Axial plane, Head, Image width 240 mm, 1.00 mm slice spacing
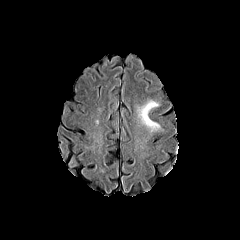
FLAIR MR image.
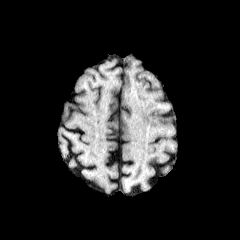
T1-weighted MR image.
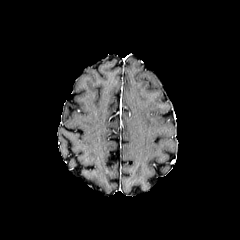
Post-contrast T1-weighted MRI.
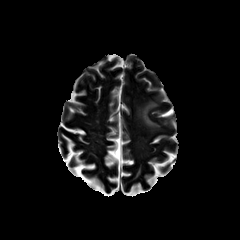
T2-weighted magnetic resonance.
Findings:
• peritumoral edema: <box>138,101,159,130</box>